Axial slice
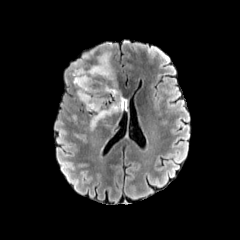
FLAIR MRI.
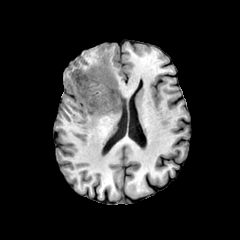
T1-weighted MRI of the same slice.
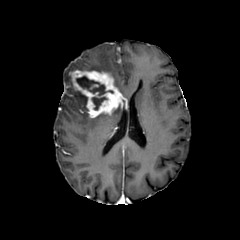
Post-contrast T1-weighted magnetic resonance of the same slice.
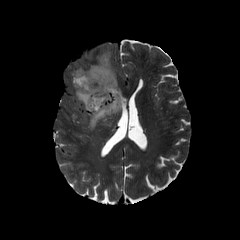
Same slice, T2-weighted MRI.
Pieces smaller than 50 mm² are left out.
<segmentation>
  <peritumoral_edema>[89,114,112,130], [75,52,118,88], [73,89,87,105]</peritumoral_edema>
  <enhancing_tumor>[70,70,127,117]</enhancing_tumor>
  <necrotic_tumor_core>[76,76,113,95], [92,97,106,110]</necrotic_tumor_core>
</segmentation>